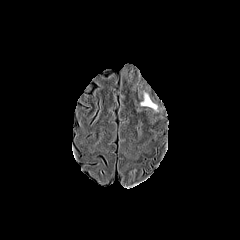
FLAIR magnetic resonance.
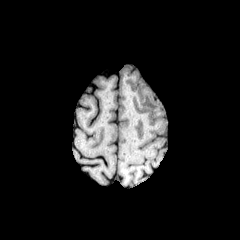
T1-weighted MRI.
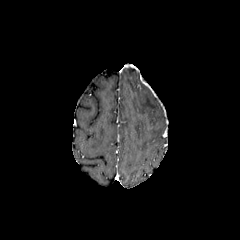
Same slice, post-contrast T1-weighted MR.
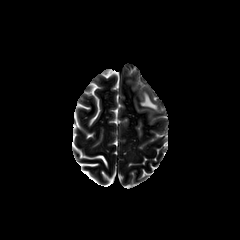
Same slice, T2-weighted MR image.
Head, Axial plane, 240x240
peritumoral edema: 140 93 157 111